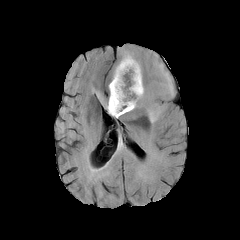
FLAIR MRI.
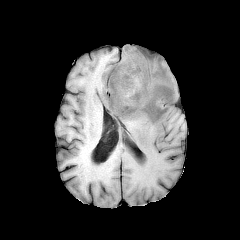
T1-weighted MR.
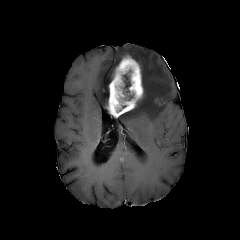
Same slice, post-contrast T1-weighted magnetic resonance.
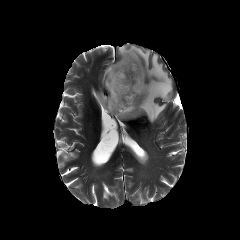
T2-weighted MRI.
Head
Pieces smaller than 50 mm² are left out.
• enhancing tumor: l=107, t=55, r=143, b=117
• necrotic tumor core: l=123, t=74, r=130, b=92
• peritumoral edema: l=109, t=60, r=120, b=83; l=96, t=92, r=107, b=109; l=118, t=46, r=174, b=123